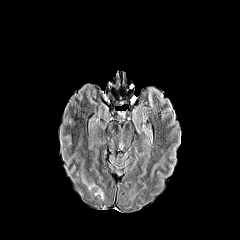
FLAIR MR.
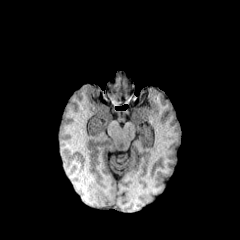
T1-weighted MR image.
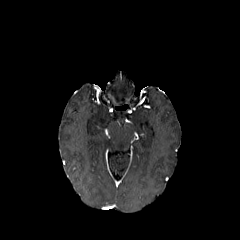
Post-contrast T1-weighted magnetic resonance of the same slice.
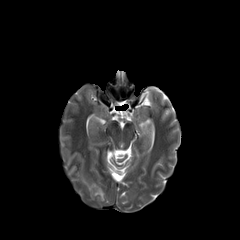
T2-weighted MR.
Axial slice. Image size 240x240.
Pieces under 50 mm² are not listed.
peritumoral edema = <bbox>95, 188, 103, 199</bbox>